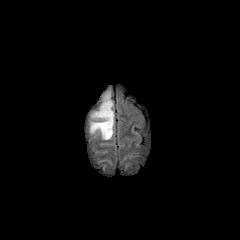
FLAIR MR.
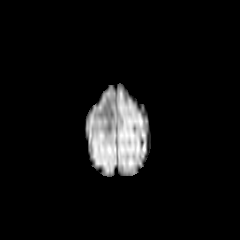
T1-weighted magnetic resonance of the same slice.
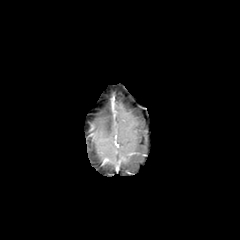
Same slice, post-contrast T1-weighted MRI.
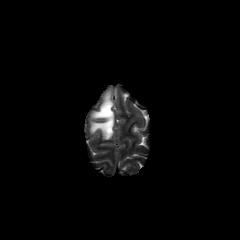
T2-weighted MR.
Head. 240x240 px.
The peritumoral edema is bounded by (90, 90, 114, 139).